Brain; Slice index 84
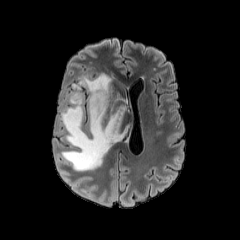
FLAIR magnetic resonance.
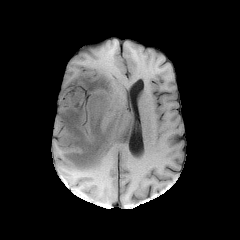
Same slice, T1-weighted magnetic resonance.
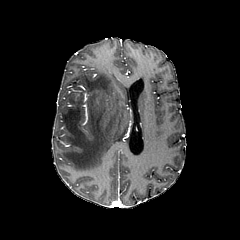
Post-contrast T1-weighted MR image.
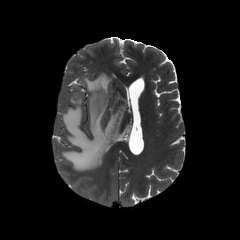
T2-weighted MR.
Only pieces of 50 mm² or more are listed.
peritumoral edema: <bbox>61, 72, 126, 171</bbox>